FLAIR magnetic resonance.
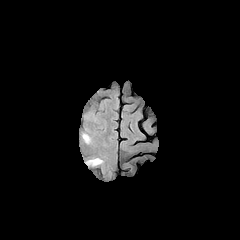
T1-weighted MR.
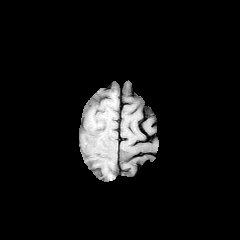
Post-contrast T1-weighted MRI.
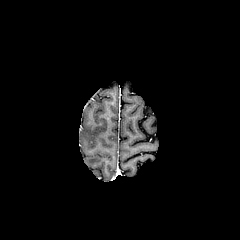
T2-weighted MR.
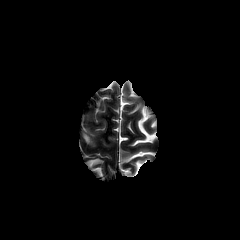
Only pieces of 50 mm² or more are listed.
Segmented structures:
- peritumoral edema: 87, 158, 101, 164